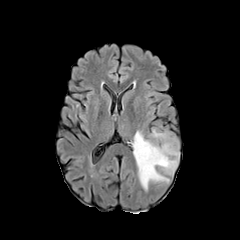
FLAIR MR.
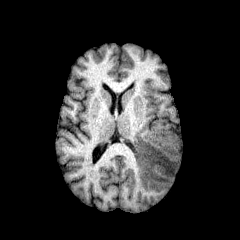
Same slice, T1-weighted MR image.
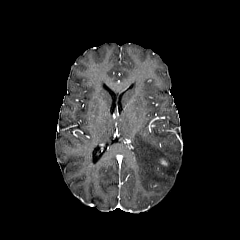
Post-contrast T1-weighted magnetic resonance.
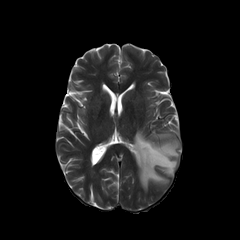
T2-weighted magnetic resonance of the same slice.
Head
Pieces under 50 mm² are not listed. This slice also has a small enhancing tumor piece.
{"peritumoral_edema": ["bbox=[133, 130, 179, 190]"]}